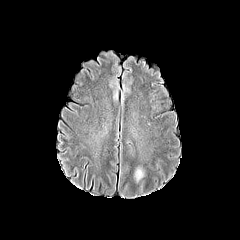
FLAIR MRI.
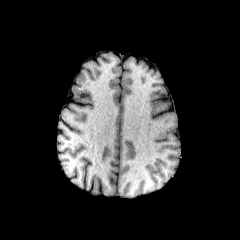
T1-weighted MR.
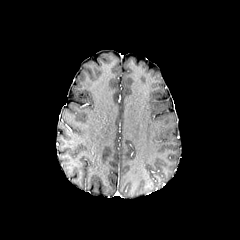
Post-contrast T1-weighted magnetic resonance.
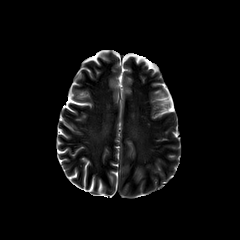
T2-weighted MRI.
Axial plane; 240x240
peritumoral edema: (136,169,142,180)